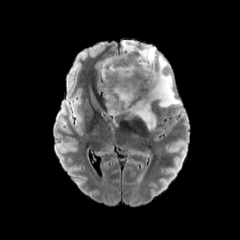
FLAIR MRI.
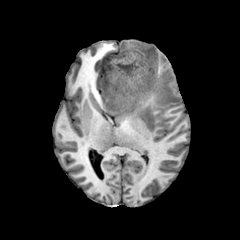
T1-weighted MR.
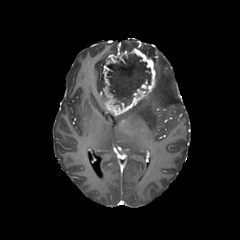
Post-contrast T1-weighted MR image of the same slice.
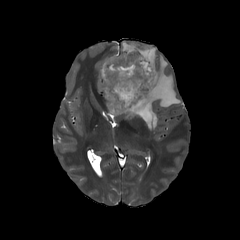
T2-weighted MR image.
Brain; Axial plane
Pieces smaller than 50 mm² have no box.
The enhancing tumor is at {"x1": 102, "y1": 47, "x2": 156, "y2": 115}. The largest necrotic tumor core region lies within {"x1": 107, "y1": 54, "x2": 150, "y2": 106}. The 2 largest peritumoral edema regions are bounded by {"x1": 121, "y1": 41, "x2": 155, "y2": 63}, {"x1": 126, "y1": 54, "x2": 180, "y2": 130}.